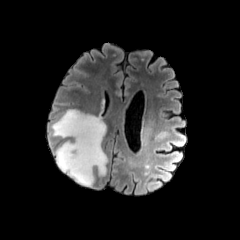
FLAIR MR.
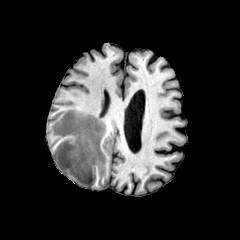
T1-weighted magnetic resonance of the same slice.
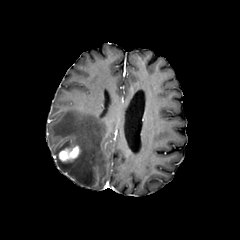
Post-contrast T1-weighted MRI.
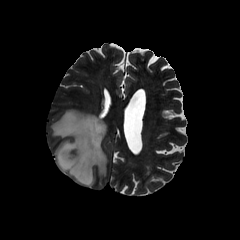
T2-weighted MR image.
Head.
peritumoral edema: 51:109:107:186
enhancing tumor: 58:145:79:162